Slice 93 of 155. 240x240 px.
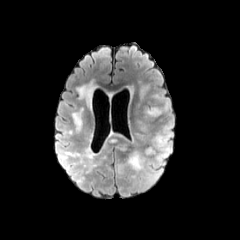
FLAIR MR image.
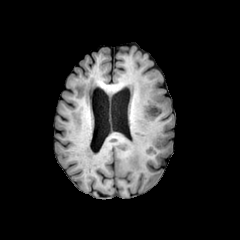
T1-weighted MR image of the same slice.
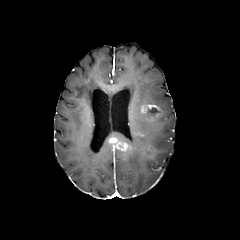
Post-contrast T1-weighted MR image of the same slice.
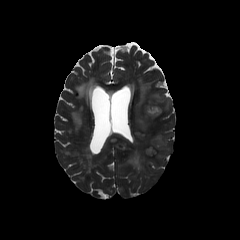
T2-weighted MR image.
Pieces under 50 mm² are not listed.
The 4 largest peritumoral edema regions appear at x1=127 y1=152 x2=143 y2=170, x1=137 y1=110 x2=168 y2=145, x1=145 y1=147 x2=155 y2=155, x1=161 y1=99 x2=169 y2=112. 2 enhancing tumor regions are bounded by x1=140 y1=104 x2=161 y2=120, x1=109 y1=138 x2=128 y2=150. The necrotic tumor core is bounded by x1=148 y1=108 x2=160 y2=115.